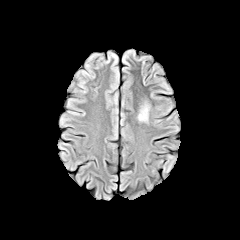
FLAIR MR.
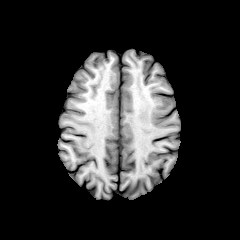
T1-weighted magnetic resonance.
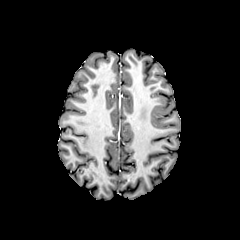
Post-contrast T1-weighted magnetic resonance.
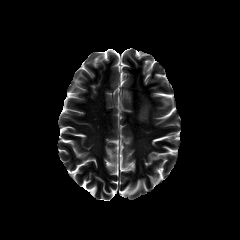
T2-weighted magnetic resonance.
Brain
The peritumoral edema is located at (138,106,147,121).